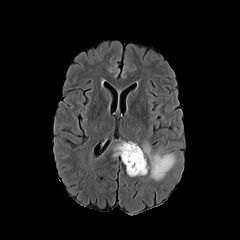
FLAIR MR image.
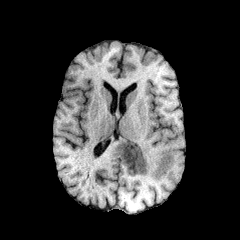
T1-weighted magnetic resonance of the same slice.
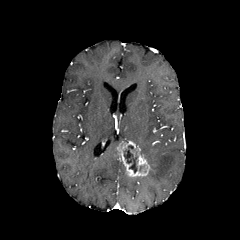
Same slice, post-contrast T1-weighted MR image.
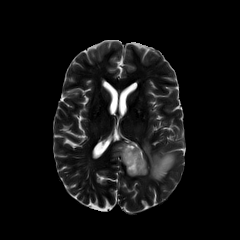
T2-weighted MR image.
240x240. Axial plane. Head.
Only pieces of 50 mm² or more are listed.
<segmentation>
  <necrotic_tumor_core>124 145 137 172</necrotic_tumor_core>
  <enhancing_tumor>116 141 149 176</enhancing_tumor>
  <peritumoral_edema>142 143 175 180</peritumoral_edema>
</segmentation>